Axial view
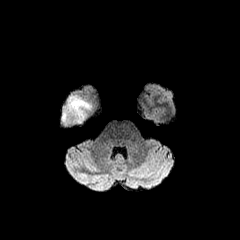
FLAIR MR image.
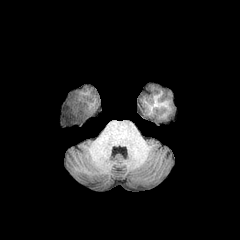
T1-weighted MR image.
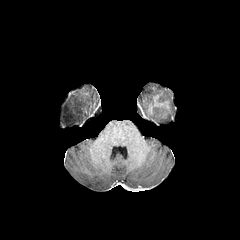
Post-contrast T1-weighted magnetic resonance.
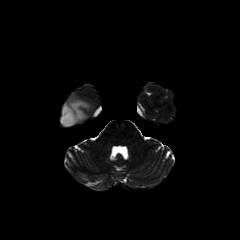
T2-weighted MR of the same slice.
peritumoral edema = x1=60, y1=97, x2=90, y2=127